Slice index 103 | Brain
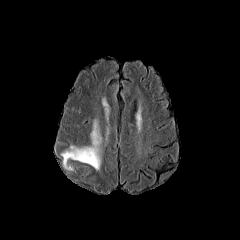
FLAIR MR.
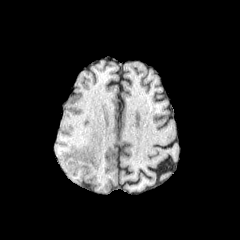
T1-weighted MR image of the same slice.
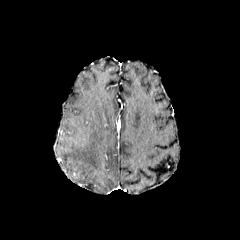
Post-contrast T1-weighted MRI.
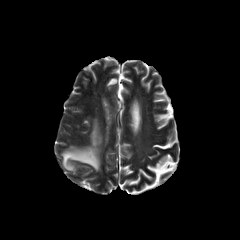
T2-weighted MRI.
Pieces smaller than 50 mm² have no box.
peritumoral edema: <box>62,120,101,170</box>